Image width 240 mm, 1.00 mm slice spacing | Axial slice | Slice index 66 | Head
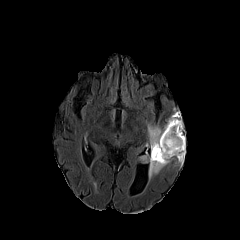
FLAIR magnetic resonance.
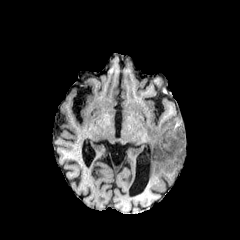
T1-weighted magnetic resonance.
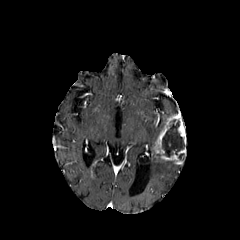
Post-contrast T1-weighted MR image of the same slice.
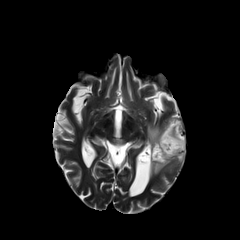
T2-weighted MR image.
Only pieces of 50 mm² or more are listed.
The largest peritumoral edema region is located at box=[147, 123, 172, 179]. The largest enhancing tumor region is at box=[152, 111, 186, 164]. The largest necrotic tumor core region appears at box=[162, 120, 184, 156].